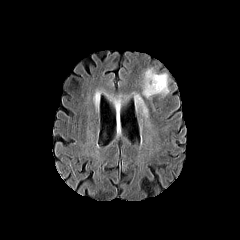
FLAIR MR.
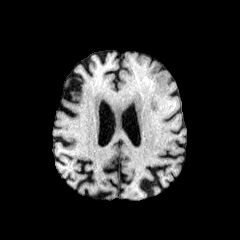
Same slice, T1-weighted magnetic resonance.
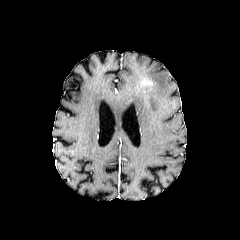
Post-contrast T1-weighted MR image.
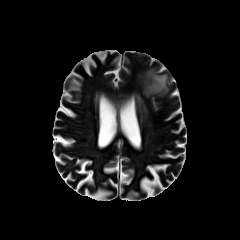
T2-weighted MR image.
Axial slice. Head.
peritumoral edema — {"x1": 134, "y1": 94, "x2": 147, "y2": 114}, {"x1": 142, "y1": 68, "x2": 168, "y2": 97}
enhancing tumor — {"x1": 142, "y1": 79, "x2": 152, "y2": 85}